240x240 px. Slice index 114.
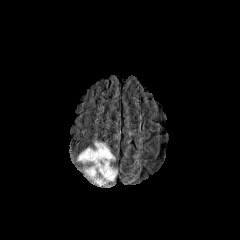
FLAIR MR.
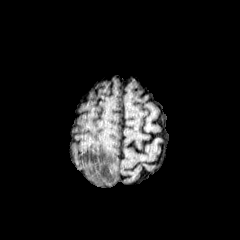
T1-weighted MR image.
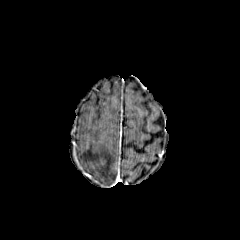
Same slice, post-contrast T1-weighted MR.
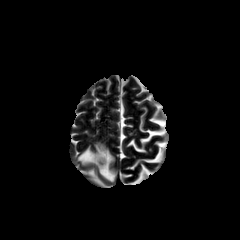
Same slice, T2-weighted magnetic resonance.
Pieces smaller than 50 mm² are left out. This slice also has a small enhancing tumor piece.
The peritumoral edema is located at l=78, t=142, r=116, b=185.